FLAIR MRI.
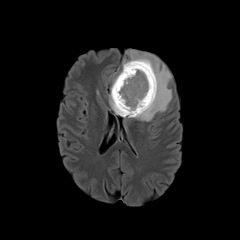
T1-weighted MRI.
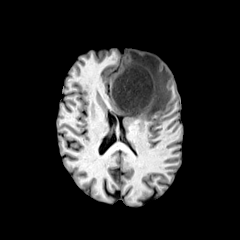
Post-contrast T1-weighted MR image.
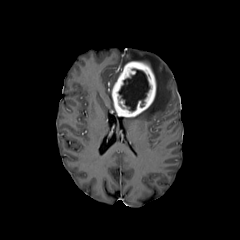
T2-weighted MRI.
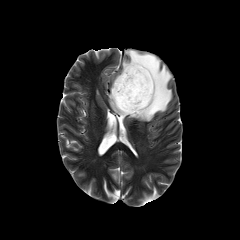
<segmentation>
  <enhancing_tumor>l=112, t=61, r=156, b=117</enhancing_tumor>
  <necrotic_tumor_core>l=118, t=69, r=150, b=111</necrotic_tumor_core>
  <peritumoral_edema>l=109, t=73, r=119, b=112; l=122, t=50, r=172, b=121</peritumoral_edema>
</segmentation>